240x240, Image width 240 mm, Brain
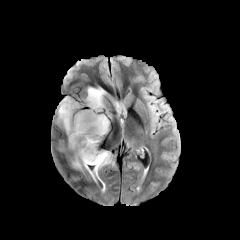
FLAIR MRI.
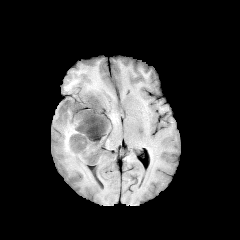
T1-weighted magnetic resonance.
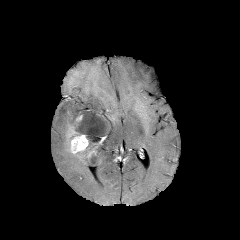
Post-contrast T1-weighted MR of the same slice.
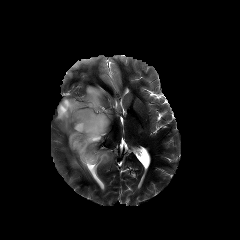
T2-weighted magnetic resonance of the same slice.
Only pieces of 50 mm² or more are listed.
<segmentation>
  <peritumoral_edema>rect(56, 86, 113, 178)</peritumoral_edema>
  <enhancing_tumor>rect(70, 133, 88, 153)</enhancing_tumor>
</segmentation>